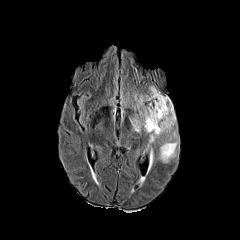
FLAIR MRI.
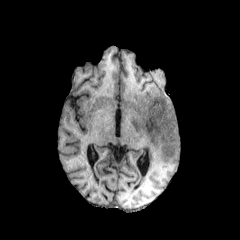
T1-weighted MR.
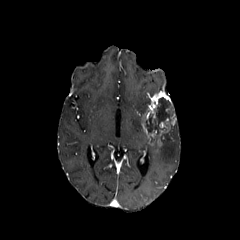
Post-contrast T1-weighted magnetic resonance of the same slice.
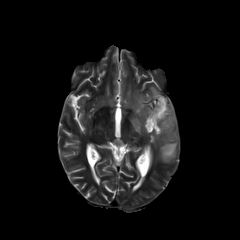
T2-weighted MRI.
Head, Axial plane
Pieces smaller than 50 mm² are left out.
peritumoral edema — l=150, t=86, r=159, b=96; l=131, t=95, r=150, b=132; l=159, t=125, r=178, b=162
enhancing tumor — l=141, t=91, r=176, b=146
necrotic tumor core — l=146, t=97, r=172, b=134